FLAIR magnetic resonance.
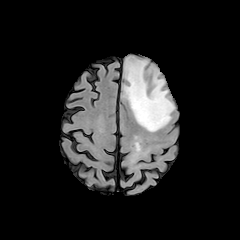
T1-weighted MRI.
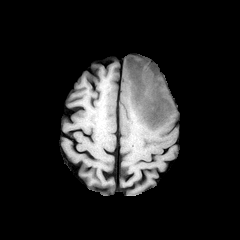
Post-contrast T1-weighted magnetic resonance.
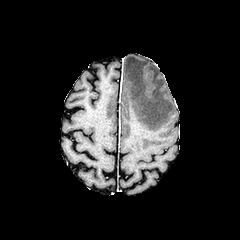
T2-weighted MR image.
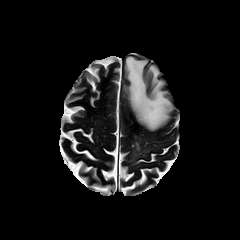
Head
peritumoral edema at (123,56,174,131)